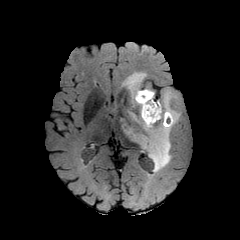
FLAIR MR image.
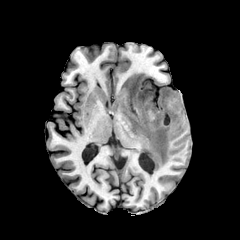
T1-weighted MRI.
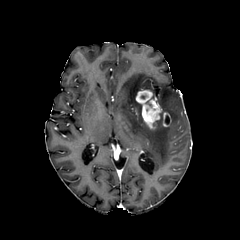
Post-contrast T1-weighted MRI.
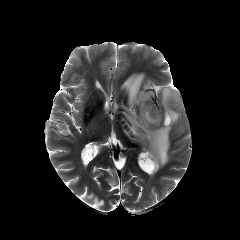
T2-weighted MR image.
240x240, Axial slice
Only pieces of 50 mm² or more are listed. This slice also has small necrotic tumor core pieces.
{"enhancing_tumor": ["region(163, 112, 170, 126)", "region(136, 90, 161, 128)"], "peritumoral_edema": ["region(122, 72, 180, 172)"]}